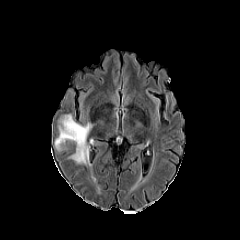
FLAIR MR image.
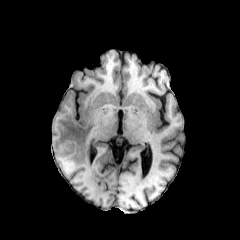
T1-weighted MRI of the same slice.
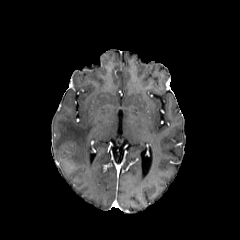
Post-contrast T1-weighted MR image.
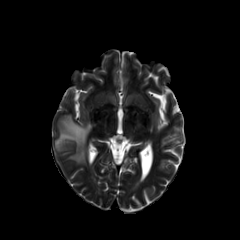
T2-weighted MR.
Head.
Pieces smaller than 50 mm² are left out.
The largest peritumoral edema region is located at region(55, 114, 92, 164).